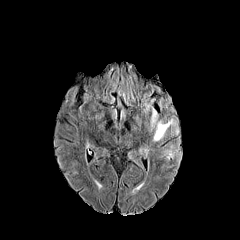
FLAIR MR image.
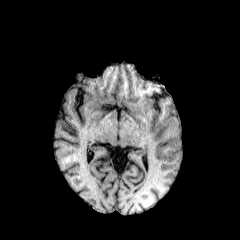
T1-weighted MRI.
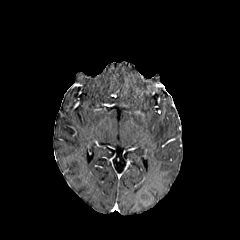
Post-contrast T1-weighted magnetic resonance.
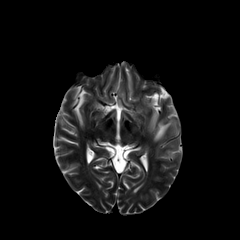
Same slice, T2-weighted magnetic resonance.
Head
peritumoral edema — x1=164 y1=145 x2=177 y2=159, x1=150 y1=109 x2=178 y2=141